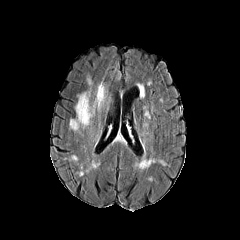
FLAIR MR image.
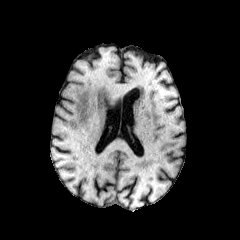
T1-weighted MRI of the same slice.
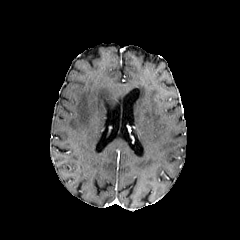
Post-contrast T1-weighted MRI.
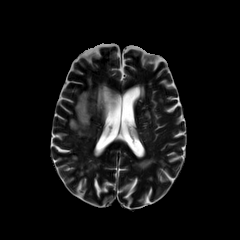
T2-weighted MR.
Axial slice
peritumoral edema at [x1=69, y1=75, x2=110, y2=134]